Image covers 240 mm x 240 mm
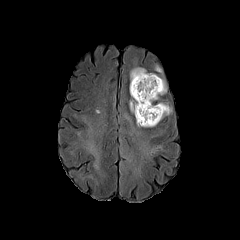
FLAIR MR.
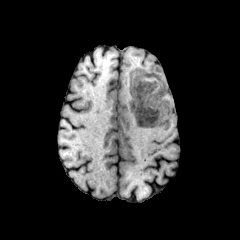
Same slice, T1-weighted magnetic resonance.
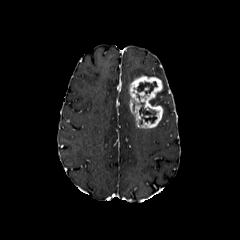
Same slice, post-contrast T1-weighted MR image.
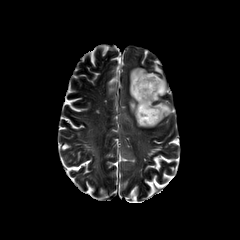
T2-weighted magnetic resonance.
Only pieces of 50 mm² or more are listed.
necrotic tumor core: {"x1": 137, "y1": 81, "x2": 157, "y2": 93}, {"x1": 139, "y1": 106, "x2": 156, "y2": 122}
peritumoral edema: {"x1": 130, "y1": 67, "x2": 166, "y2": 105}, {"x1": 157, "y1": 102, "x2": 171, "y2": 118}
enhancing tumor: {"x1": 129, "y1": 75, "x2": 163, "y2": 128}